240x240
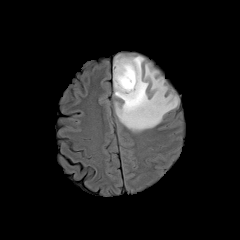
FLAIR MR image.
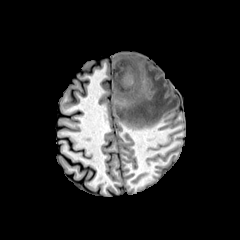
Same slice, T1-weighted MR image.
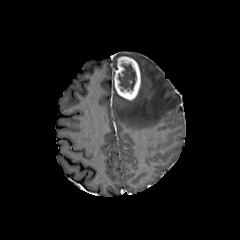
Post-contrast T1-weighted MR image of the same slice.
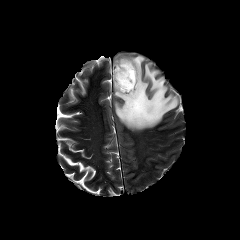
T2-weighted MR image of the same slice.
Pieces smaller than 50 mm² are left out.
necrotic tumor core: <bbox>118, 63, 136, 91</bbox>
enhancing tumor: <bbox>114, 56, 140, 100</bbox>
peritumoral edema: <bbox>113, 54, 179, 131</bbox>